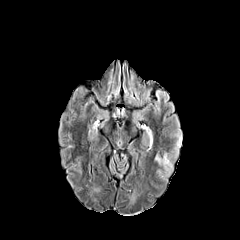
FLAIR magnetic resonance.
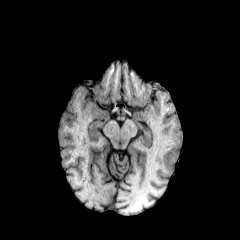
T1-weighted MR image.
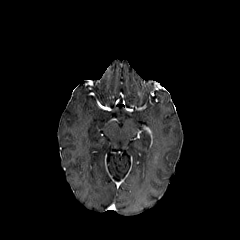
Post-contrast T1-weighted MR image.
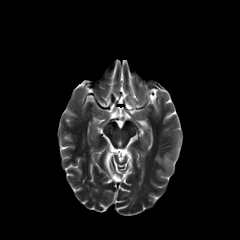
T2-weighted MR of the same slice.
240x240 px; Axial view; Head
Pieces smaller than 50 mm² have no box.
{
  "peritumoral_edema": [
    "bbox=[156, 156, 172, 172]"
  ]
}